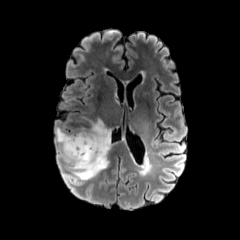
FLAIR MRI.
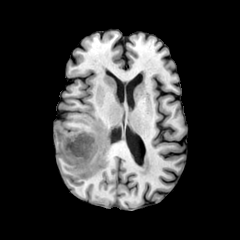
T1-weighted MR.
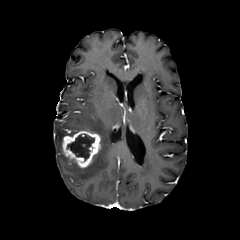
Post-contrast T1-weighted MRI.
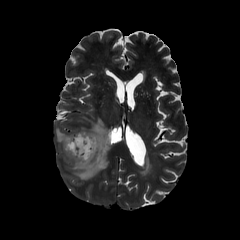
Same slice, T2-weighted MR.
Axial view, 240x240 px
peritumoral_edema:
  - bbox(55, 117, 110, 180)
necrotic_tumor_core:
  - bbox(67, 134, 94, 160)
enhancing_tumor:
  - bbox(62, 130, 101, 168)